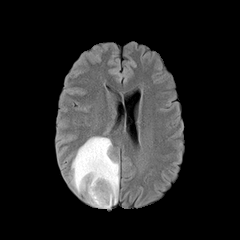
FLAIR MR.
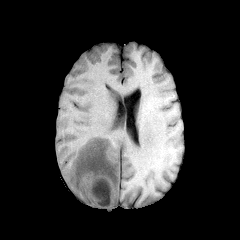
Same slice, T1-weighted magnetic resonance.
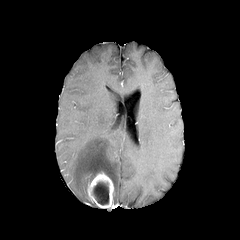
Post-contrast T1-weighted MR of the same slice.
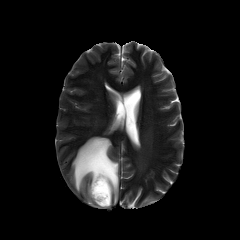
T2-weighted MRI of the same slice.
Axial view | Brain
enhancing tumor: (x1=87, y1=172, x2=114, y2=208) | peritumoral edema: (x1=71, y1=136, x2=119, y2=207) | necrotic tumor core: (x1=93, y1=182, x2=109, y2=205)